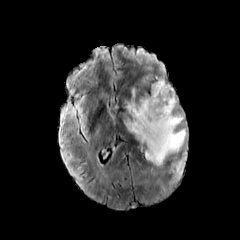
FLAIR magnetic resonance.
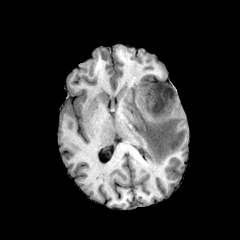
T1-weighted MRI.
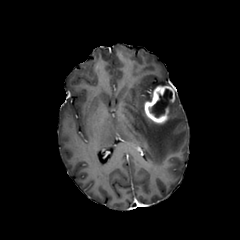
Post-contrast T1-weighted MR of the same slice.
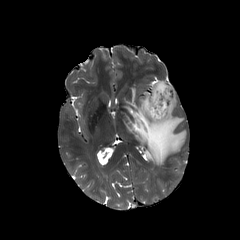
T2-weighted MRI.
Axial slice
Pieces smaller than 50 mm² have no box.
peritumoral edema = 125,88,186,165; 152,80,168,91
necrotic tumor core = 151,89,172,117
enhancing tumor = 144,85,175,123